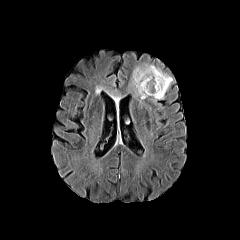
FLAIR MR.
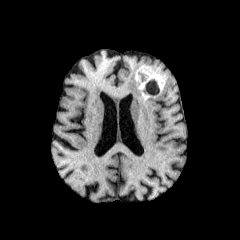
T1-weighted MR image.
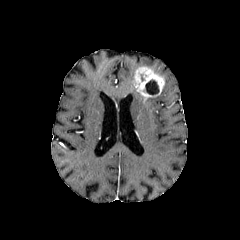
Post-contrast T1-weighted MRI.
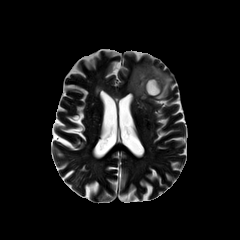
Same slice, T2-weighted MR image.
Brain; Image size 240x240
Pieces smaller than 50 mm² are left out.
The largest necrotic tumor core region appears at x1=145 y1=79 x2=159 y2=95. The enhancing tumor is located at x1=133 y1=67 x2=164 y2=97. The peritumoral edema is located at x1=130 y1=64 x2=172 y2=101.